FLAIR MR.
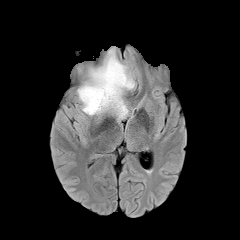
T1-weighted MR.
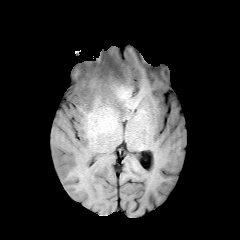
Post-contrast T1-weighted MRI.
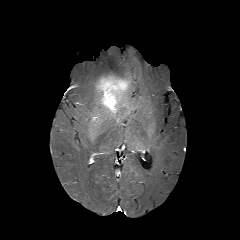
T2-weighted MR.
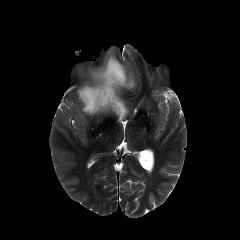
Axial slice
The enhancing tumor lies within {"x1": 97, "y1": 76, "x2": 127, "y2": 112}. The peritumoral edema is at {"x1": 77, "y1": 49, "x2": 135, "y2": 121}.